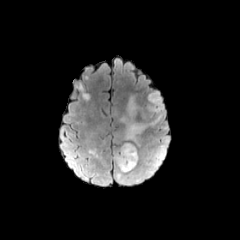
FLAIR MR.
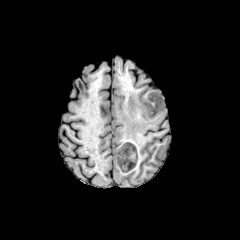
Same slice, T1-weighted MR image.
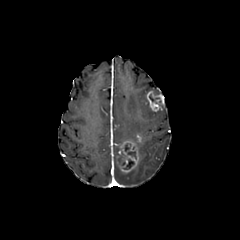
Post-contrast T1-weighted magnetic resonance.
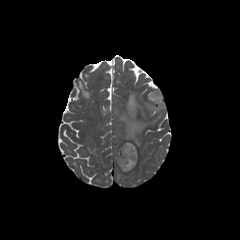
Same slice, T2-weighted MRI.
Axial slice
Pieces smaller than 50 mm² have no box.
The 2 largest necrotic tumor core regions are bounded by 124 144 136 158, 123 159 134 169. The 5 largest peritumoral edema regions are bounded by 114 152 141 183, 154 145 165 165, 121 117 146 145, 144 98 164 124, 127 96 137 117. The 2 largest enhancing tumor regions appear at 146 91 163 111, 117 141 138 172.